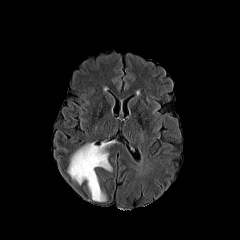
FLAIR MR.
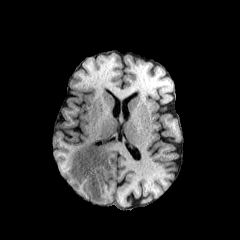
Same slice, T1-weighted MR.
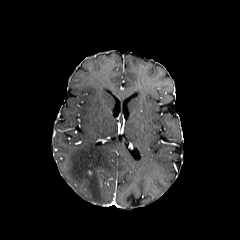
Post-contrast T1-weighted MRI.
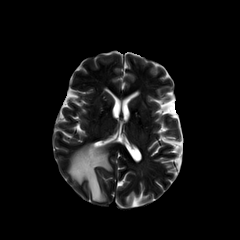
T2-weighted MR of the same slice.
Head
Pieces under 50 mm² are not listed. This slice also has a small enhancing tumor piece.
The peritumoral edema lies within 68:142:112:201.